Axial slice; 240x240 px; Brain
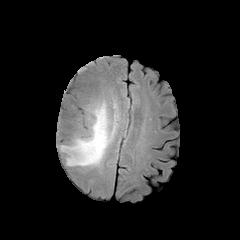
FLAIR MR.
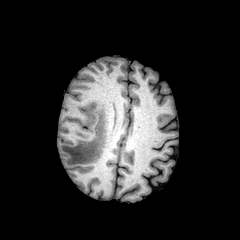
Same slice, T1-weighted MR image.
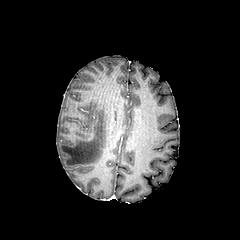
Post-contrast T1-weighted MR image.
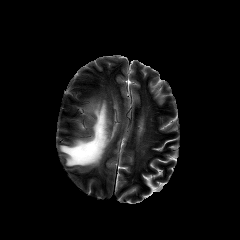
T2-weighted MR image of the same slice.
peritumoral edema at 60, 101, 115, 166